FLAIR MR image.
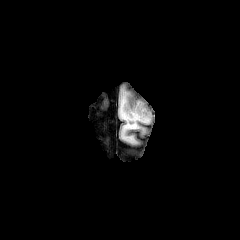
T1-weighted MR image.
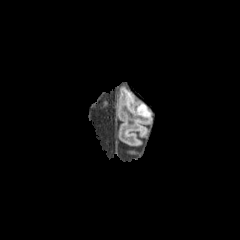
Post-contrast T1-weighted MRI.
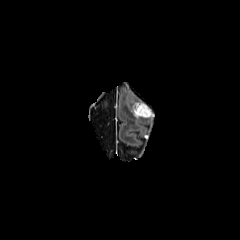
T2-weighted MRI.
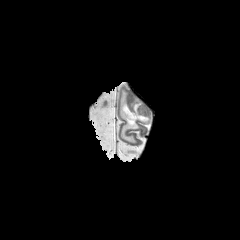
Image size 240x240, Axial slice
Segmented structures:
- peritumoral edema: rect(119, 89, 150, 143)
- enhancing tumor: rect(132, 102, 151, 118)